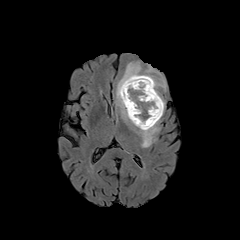
FLAIR MR image.
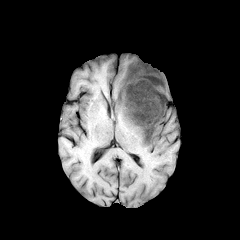
T1-weighted magnetic resonance of the same slice.
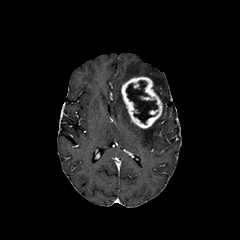
Post-contrast T1-weighted magnetic resonance.
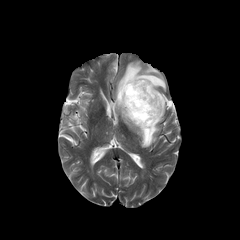
T2-weighted magnetic resonance of the same slice.
Image size 240x240
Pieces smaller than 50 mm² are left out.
Segmented structures:
• peritumoral edema: <bbox>116, 61, 166, 147</bbox>
• enhancing tumor: <bbox>121, 76, 162, 128</bbox>
• necrotic tumor core: <bbox>126, 80, 157, 123</bbox>